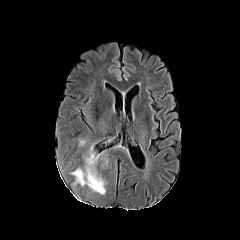
FLAIR MR.
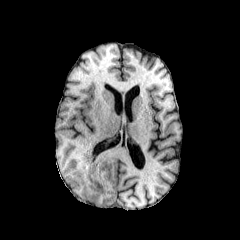
T1-weighted MR image.
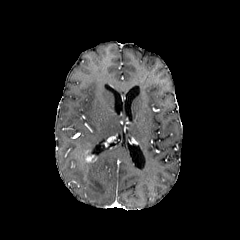
Post-contrast T1-weighted magnetic resonance of the same slice.
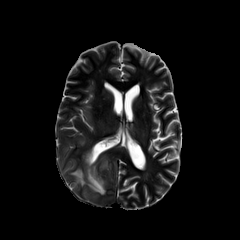
T2-weighted MR image.
Axial slice, Head
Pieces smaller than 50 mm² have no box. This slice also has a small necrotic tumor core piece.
enhancing tumor — x1=85 y1=154 x2=97 y2=163
peritumoral edema — x1=72 y1=161 x2=105 y2=194